FLAIR magnetic resonance.
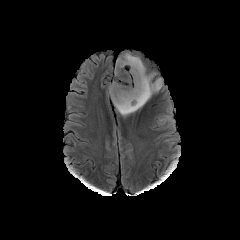
T1-weighted MR image.
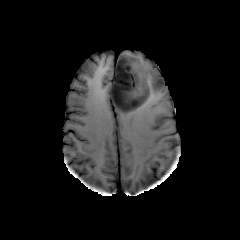
Post-contrast T1-weighted MR.
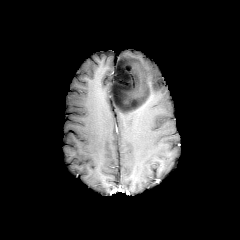
T2-weighted MRI.
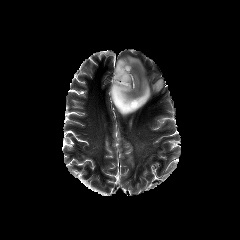
240x240
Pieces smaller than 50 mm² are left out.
necrotic_tumor_core:
  - left=111, top=57, right=147, bottom=111
peritumoral_edema:
  - left=109, top=53, right=162, bottom=116